Axial view
FLAIR magnetic resonance.
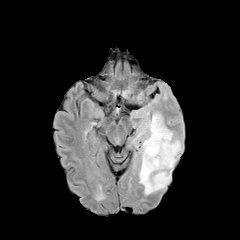
T1-weighted MRI.
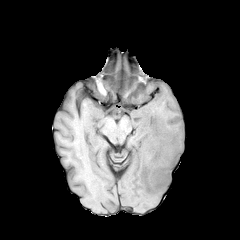
Post-contrast T1-weighted MRI.
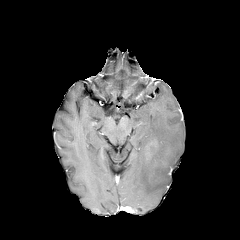
T2-weighted MR.
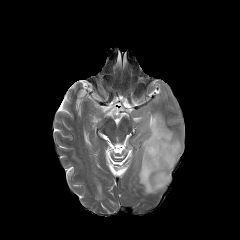
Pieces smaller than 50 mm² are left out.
peritumoral edema: bbox=[132, 111, 182, 195]